FLAIR MRI.
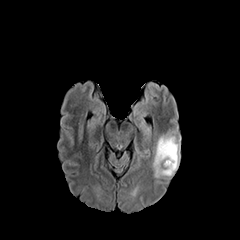
T1-weighted magnetic resonance.
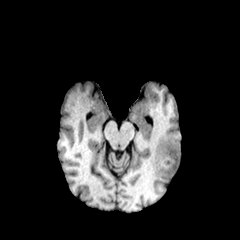
Post-contrast T1-weighted MR image.
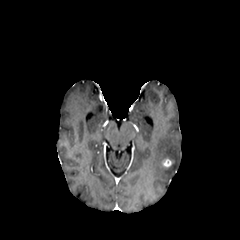
T2-weighted MRI.
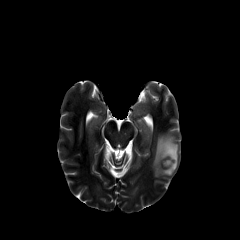
240x240 px; Axial slice
peritumoral edema at region(153, 131, 180, 177)
enhancing tumor at region(163, 159, 171, 166)